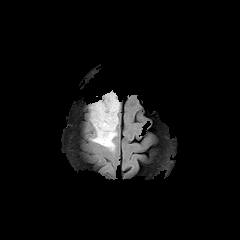
FLAIR MRI.
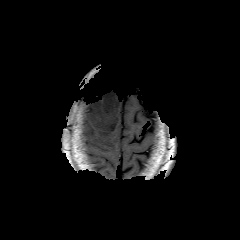
Same slice, T1-weighted MR image.
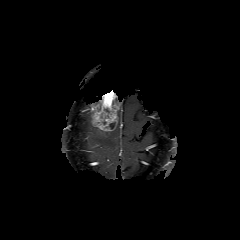
Same slice, post-contrast T1-weighted magnetic resonance.
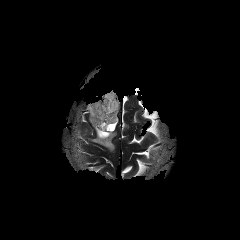
T2-weighted MR image of the same slice.
Head
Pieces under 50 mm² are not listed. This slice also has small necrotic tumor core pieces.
<segmentation>
  <peritumoral_edema>left=91, top=127, right=117, bottom=151</peritumoral_edema>
  <enhancing_tumor>left=89, top=90, right=119, bottom=135</enhancing_tumor>
</segmentation>